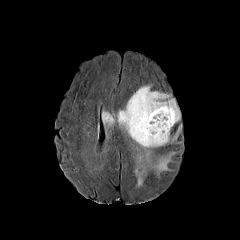
FLAIR MR image.
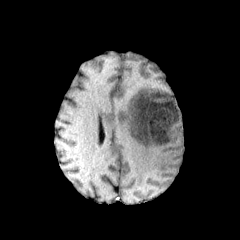
Same slice, T1-weighted MRI.
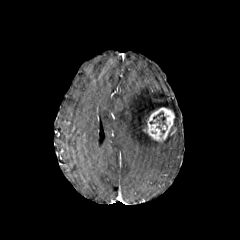
Post-contrast T1-weighted magnetic resonance.
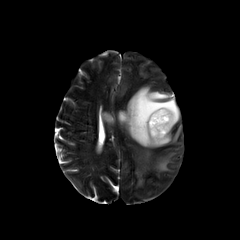
T2-weighted MR.
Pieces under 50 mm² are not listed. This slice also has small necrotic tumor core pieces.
enhancing_tumor:
  - box=[143, 107, 175, 142]
peritumoral_edema:
  - box=[102, 112, 115, 125]
  - box=[117, 85, 181, 186]